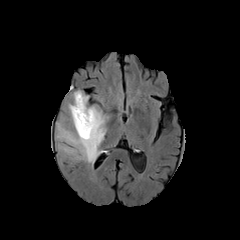
FLAIR MR image.
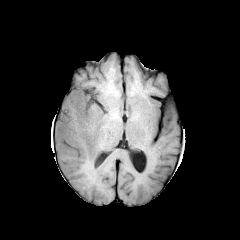
Same slice, T1-weighted MR image.
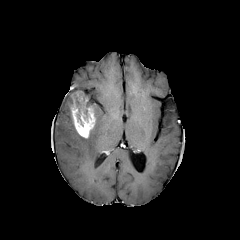
Same slice, post-contrast T1-weighted MR image.
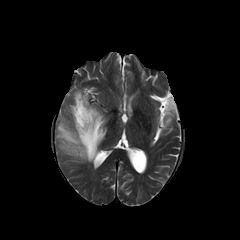
Same slice, T2-weighted MRI.
Brain | Image size 240x240 | Axial view
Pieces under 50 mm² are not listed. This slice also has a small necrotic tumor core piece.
peritumoral edema at {"x1": 56, "y1": 103, "x2": 107, "y2": 163}
enhancing tumor at {"x1": 70, "y1": 91, "x2": 95, "y2": 138}